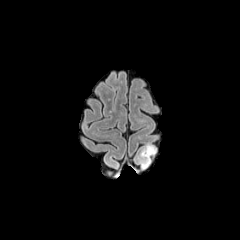
FLAIR MR.
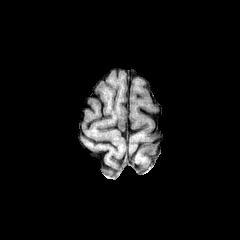
T1-weighted magnetic resonance of the same slice.
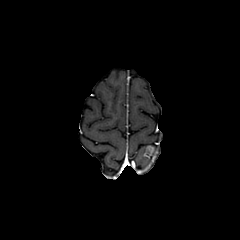
Post-contrast T1-weighted MR.
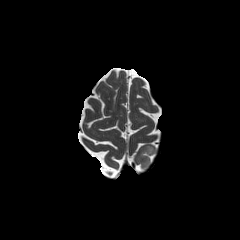
T2-weighted MR image of the same slice.
240x240
<segmentation>
  <enhancing_tumor>region(143, 145, 155, 158)</enhancing_tumor>
  <peritumoral_edema>region(138, 147, 150, 168)</peritumoral_edema>
</segmentation>